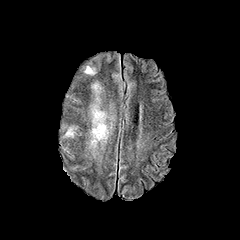
FLAIR MR image.
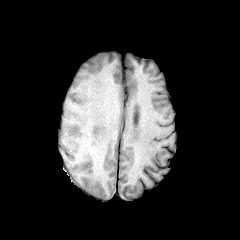
T1-weighted MR image of the same slice.
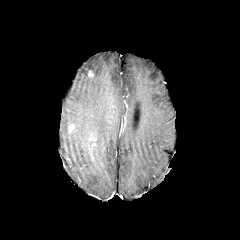
Same slice, post-contrast T1-weighted MRI.
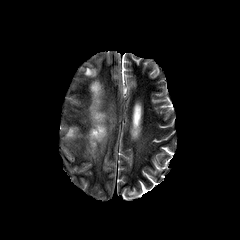
T2-weighted magnetic resonance.
Head; Axial view
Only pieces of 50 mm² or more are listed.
Annotated regions:
- peritumoral edema: l=91, t=107, r=106, b=144; l=66, t=128, r=73, b=136; l=92, t=83, r=100, b=95